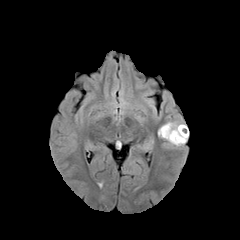
FLAIR MR.
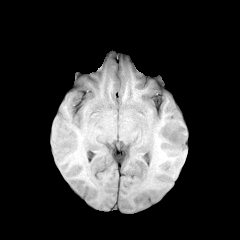
Same slice, T1-weighted MR.
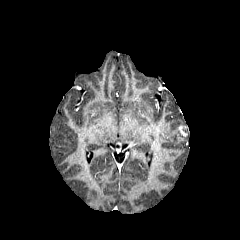
Post-contrast T1-weighted MR of the same slice.
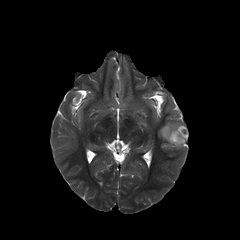
T2-weighted MR image.
Image size 240x240
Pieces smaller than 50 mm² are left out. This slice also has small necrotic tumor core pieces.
The largest enhancing tumor region lies within x1=173 y1=126 x2=187 y2=136. The largest peritumoral edema region appears at x1=158 y1=121 x2=187 y2=147.